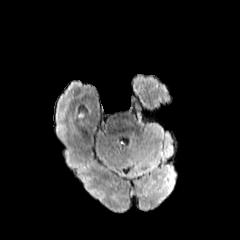
FLAIR MR image.
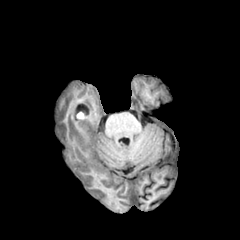
T1-weighted magnetic resonance.
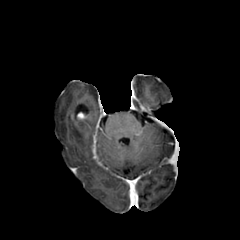
Post-contrast T1-weighted MR of the same slice.
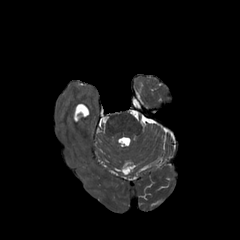
T2-weighted magnetic resonance.
The enhancing tumor is located at 76,112,84,119.